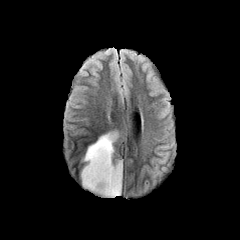
FLAIR MR image.
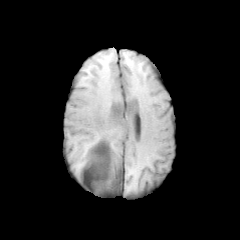
T1-weighted MRI.
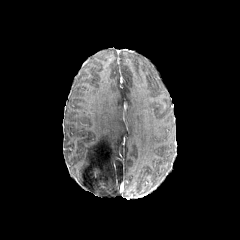
Same slice, post-contrast T1-weighted MR image.
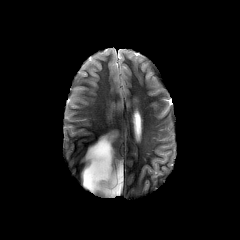
Same slice, T2-weighted MR.
Head
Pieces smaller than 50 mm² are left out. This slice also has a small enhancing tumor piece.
peritumoral edema — region(81, 132, 122, 197)